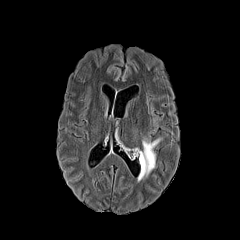
FLAIR magnetic resonance.
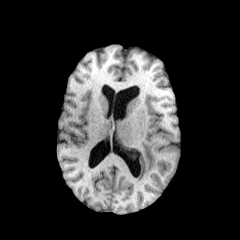
Same slice, T1-weighted MRI.
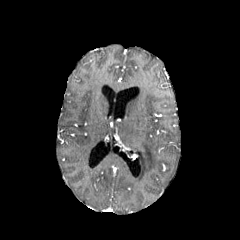
Same slice, post-contrast T1-weighted MRI.
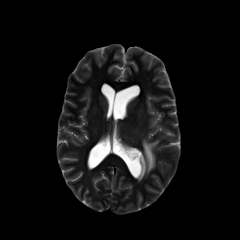
T2-weighted MR of the same slice.
240x240 | Head
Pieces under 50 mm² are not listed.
Annotated regions:
* peritumoral edema: x1=138, y1=139, x2=159, y2=180